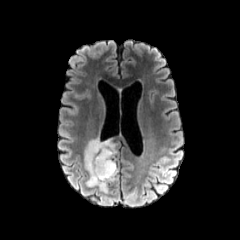
FLAIR MR.
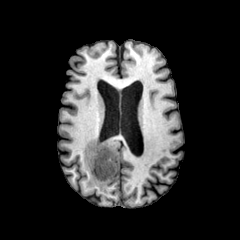
T1-weighted MRI of the same slice.
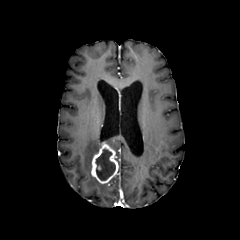
Post-contrast T1-weighted MR image.
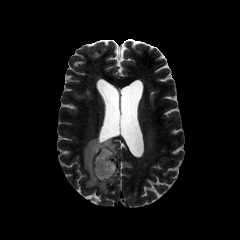
T2-weighted MR image.
Axial plane
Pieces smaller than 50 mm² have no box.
Findings:
- peritumoral edema: l=84, t=137, r=117, b=193
- necrotic tumor core: l=95, t=149, r=115, b=180
- enhancing tumor: l=91, t=142, r=118, b=183